Axial slice, Image size 240x240, Slice 109/155, Brain
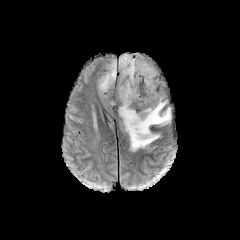
FLAIR MRI.
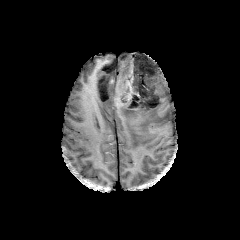
T1-weighted MR image of the same slice.
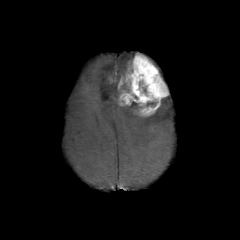
Post-contrast T1-weighted MR of the same slice.
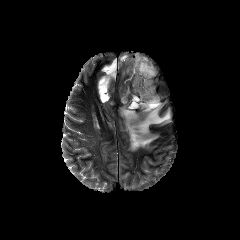
Same slice, T2-weighted magnetic resonance.
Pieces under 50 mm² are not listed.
peritumoral edema — 119, 100, 171, 150; 140, 53, 162, 78; 98, 53, 135, 102
necrotic tumor core — 130, 101, 138, 111
enhancing tumor — 118, 53, 168, 116